Slice 36 of 155
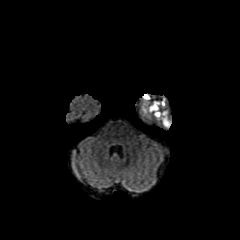
FLAIR magnetic resonance.
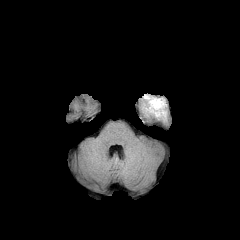
T1-weighted MR image.
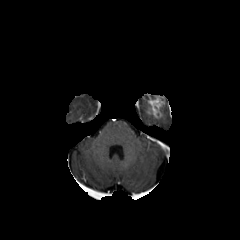
Same slice, post-contrast T1-weighted magnetic resonance.
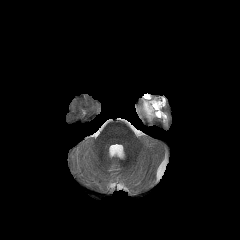
T2-weighted magnetic resonance of the same slice.
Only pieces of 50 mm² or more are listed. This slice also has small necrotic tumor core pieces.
The enhancing tumor is at 143 93 165 118. The 2 largest peritumoral edema regions appear at 142 100 152 117, 159 111 169 127.